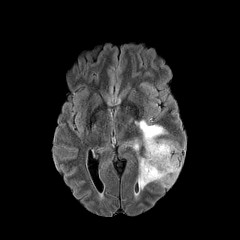
FLAIR MR image.
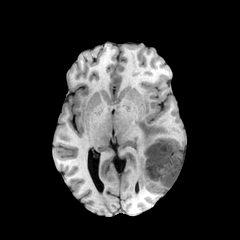
T1-weighted MR of the same slice.
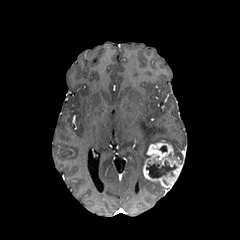
Post-contrast T1-weighted MRI.
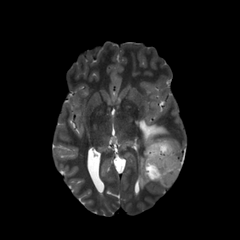
Same slice, T2-weighted MRI.
Brain; 240x240 px; Axial slice
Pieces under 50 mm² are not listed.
The 2 largest peritumoral edema regions appear at box(138, 154, 150, 189); box(135, 120, 167, 152). The largest necrotic tumor core region is at box(146, 161, 176, 178). The enhancing tumor appears at box(143, 140, 182, 188).